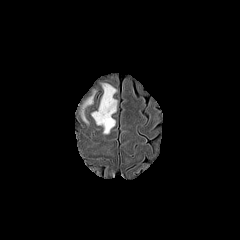
FLAIR magnetic resonance.
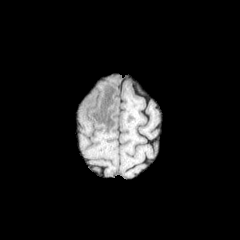
T1-weighted MR image.
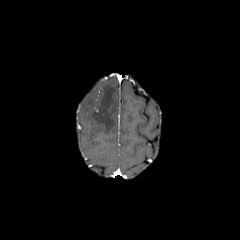
Same slice, post-contrast T1-weighted magnetic resonance.
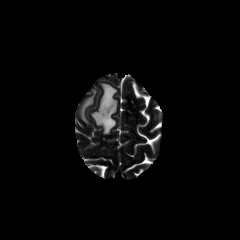
Same slice, T2-weighted magnetic resonance.
Axial slice | Brain
peritumoral edema: box=[81, 91, 95, 123]; box=[91, 83, 117, 134]